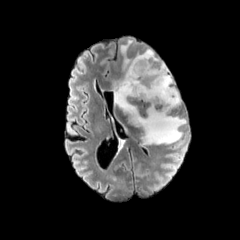
FLAIR MR.
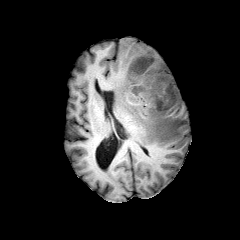
T1-weighted MR image.
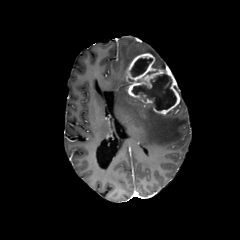
Post-contrast T1-weighted MR image of the same slice.
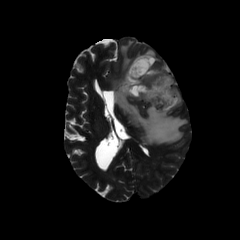
T2-weighted MRI.
Brain. 240x240 px.
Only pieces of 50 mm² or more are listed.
necrotic tumor core — 131,74,176,110; 130,58,152,77
peritumoral edema — 111,39,187,144
enhancing tumor — 126,53,180,115